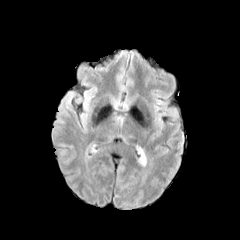
FLAIR MR image.
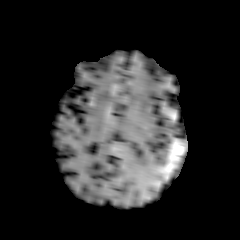
T1-weighted MRI.
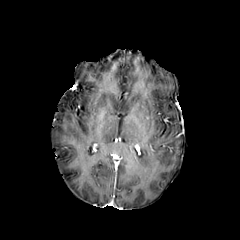
Post-contrast T1-weighted MRI.
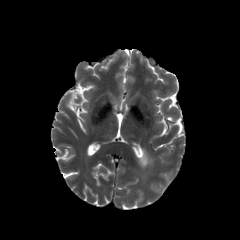
T2-weighted MR image.
Axial view | Brain | 240x240 px
The peritumoral edema is bounded by x1=139 y1=148 x2=147 y2=167.